FLAIR MR.
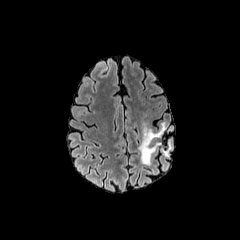
T1-weighted MR.
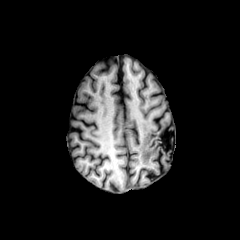
Post-contrast T1-weighted MR.
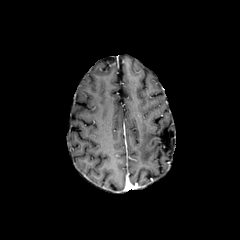
T2-weighted MRI.
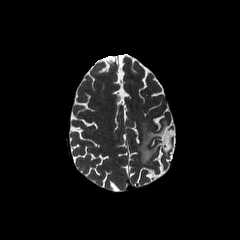
Axial view.
{"peritumoral_edema": ["x1=162 y1=140 x2=171 y2=156", "x1=138 y1=122 x2=165 y2=164"]}